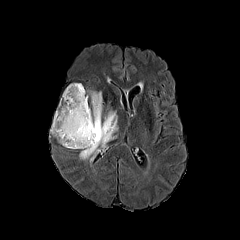
FLAIR MR image.
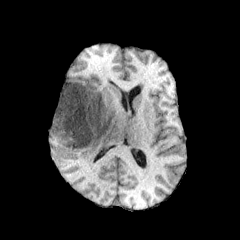
T1-weighted MR image.
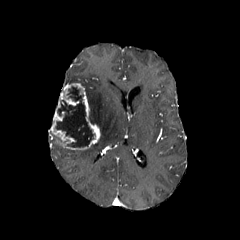
Post-contrast T1-weighted magnetic resonance.
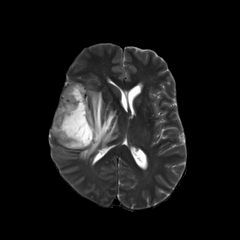
T2-weighted magnetic resonance.
Axial plane
Annotated regions:
* enhancing tumor: [49, 83, 100, 149]
* necrotic tumor core: [56, 86, 94, 147]
* peritumoral edema: [79, 90, 118, 161]